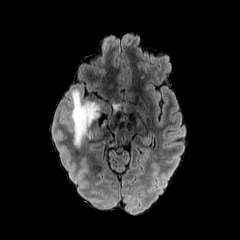
FLAIR MR image.
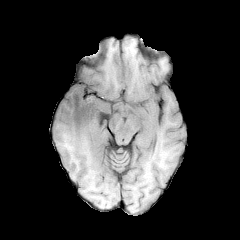
T1-weighted MRI.
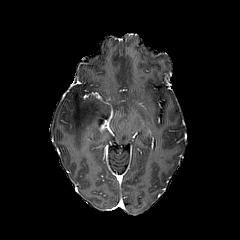
Same slice, post-contrast T1-weighted MR.
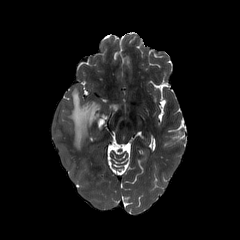
Same slice, T2-weighted MRI.
Image size 240x240.
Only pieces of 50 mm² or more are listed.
peritumoral edema: (left=112, top=103, right=121, bottom=114), (left=68, top=89, right=107, bottom=148)